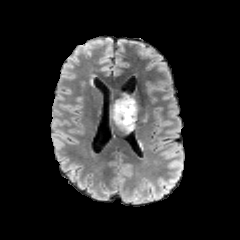
FLAIR MRI.
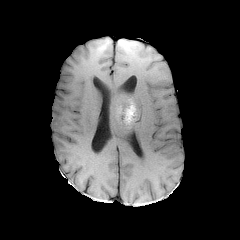
T1-weighted magnetic resonance.
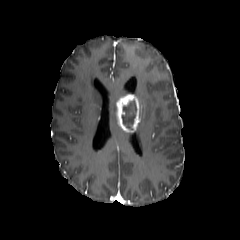
Post-contrast T1-weighted magnetic resonance.
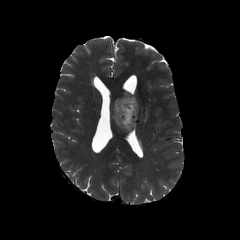
T2-weighted MR.
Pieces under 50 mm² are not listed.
necrotic tumor core: <bbox>122, 100, 136, 129</bbox>
enhancing tumor: <bbox>115, 94, 140, 132</bbox>
peritumoral edema: <bbox>113, 100, 120, 128</bbox>